FLAIR magnetic resonance.
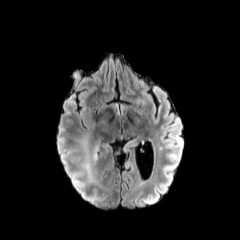
T1-weighted MR image.
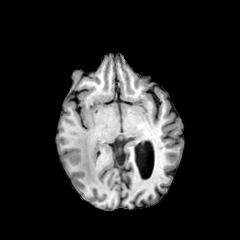
Post-contrast T1-weighted MR.
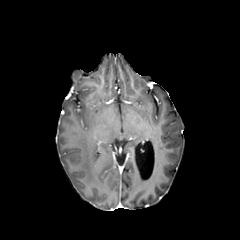
T2-weighted magnetic resonance.
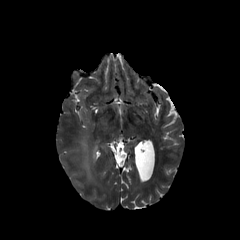
Head | 240x240
The peritumoral edema is located at 80 138 96 181.